FLAIR magnetic resonance.
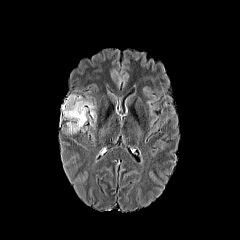
T1-weighted MRI.
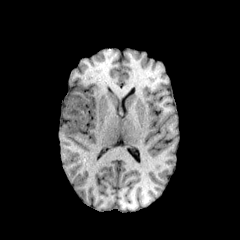
Post-contrast T1-weighted MRI.
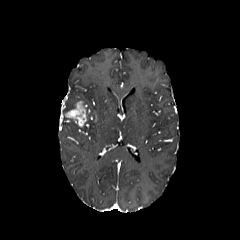
T2-weighted magnetic resonance.
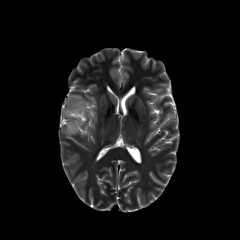
Brain | 240x240 px
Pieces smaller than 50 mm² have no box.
{
  "enhancing_tumor": [
    "(left=65, top=101, right=86, bottom=127)"
  ],
  "peritumoral_edema": [
    "(left=63, top=95, right=95, bottom=134)"
  ]
}